Image size 240x240. Slice 85 of 155. Axial view.
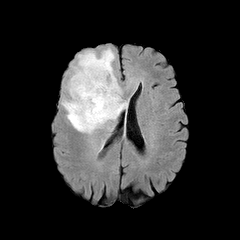
FLAIR MRI.
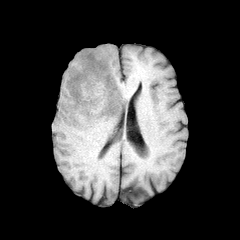
Same slice, T1-weighted MRI.
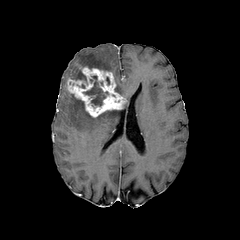
Post-contrast T1-weighted MR image.
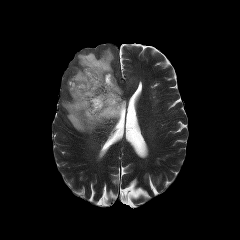
T2-weighted MR image of the same slice.
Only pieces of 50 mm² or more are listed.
Findings:
- peritumoral edema: region(70, 48, 121, 95); region(62, 94, 121, 133)
- enhancing tumor: region(66, 67, 125, 117)
- necrotic tumor core: region(83, 76, 107, 106)